FLAIR MRI.
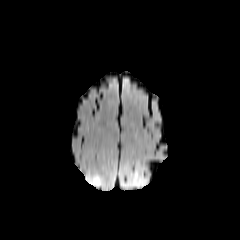
T1-weighted MRI.
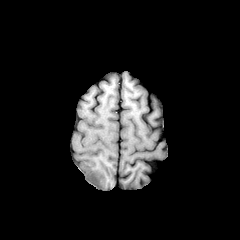
Post-contrast T1-weighted MR image.
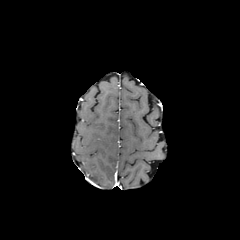
T2-weighted MR image.
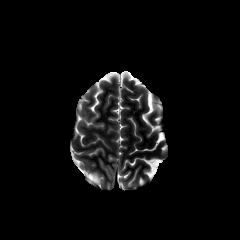
Head. 240x240.
peritumoral edema = [87, 174, 102, 185]